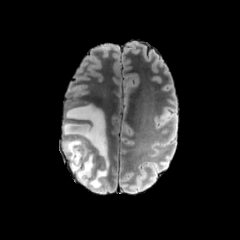
FLAIR MR.
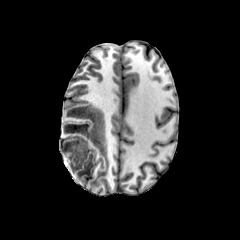
T1-weighted MR image.
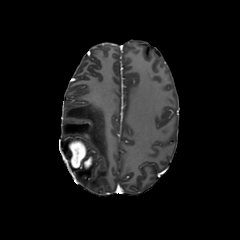
Same slice, post-contrast T1-weighted MR.
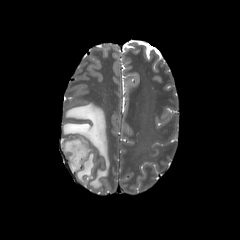
T2-weighted MR image.
240x240 px. Head.
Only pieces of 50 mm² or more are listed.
The largest enhancing tumor region lies within 68 139 92 169. The peritumoral edema is located at 61 104 109 190.